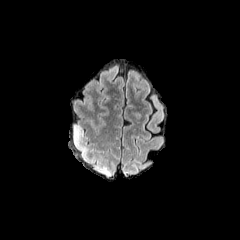
FLAIR MRI.
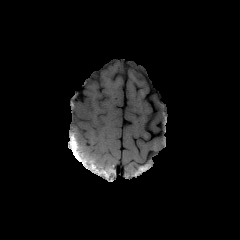
T1-weighted MR image.
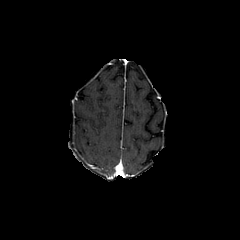
Post-contrast T1-weighted MRI.
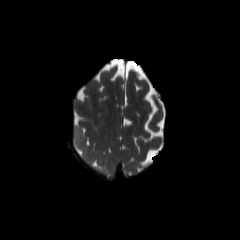
Same slice, T2-weighted MR.
Brain
peritumoral edema at x1=72 y1=124 x2=89 y2=162, x1=101 y1=168 x2=111 y2=177